Axial plane.
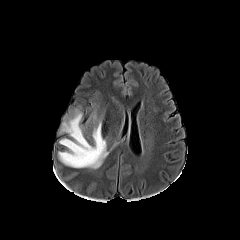
FLAIR magnetic resonance.
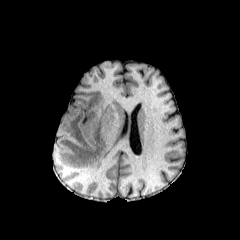
T1-weighted MRI.
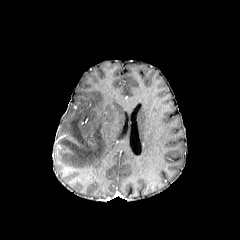
Post-contrast T1-weighted magnetic resonance.
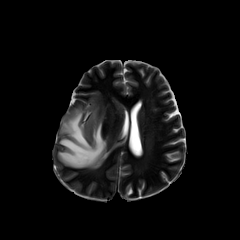
T2-weighted magnetic resonance.
The peritumoral edema is bounded by [58,109,108,168].